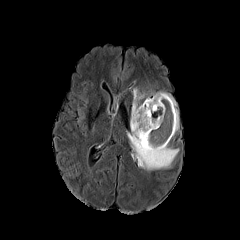
FLAIR MR.
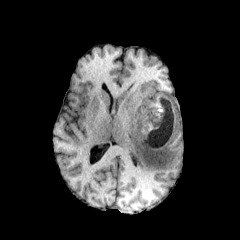
T1-weighted magnetic resonance.
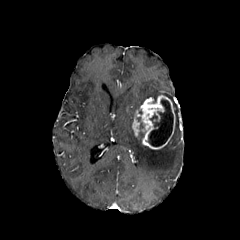
Post-contrast T1-weighted MRI.
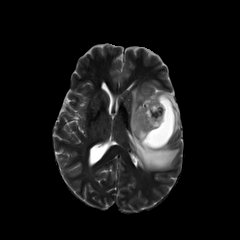
T2-weighted MRI.
Head. Axial slice.
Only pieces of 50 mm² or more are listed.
The largest enhancing tumor region is located at bbox(132, 95, 175, 149). The necrotic tumor core is bounded by bbox(148, 99, 173, 146). The 2 largest peritumoral edema regions are bounded by bbox(126, 88, 179, 170); bbox(150, 92, 178, 134).